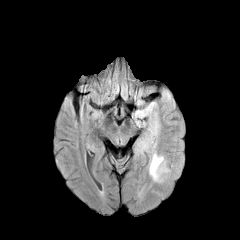
FLAIR MR image.
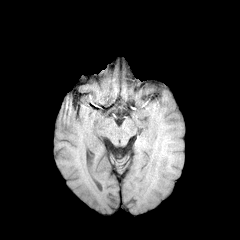
T1-weighted magnetic resonance of the same slice.
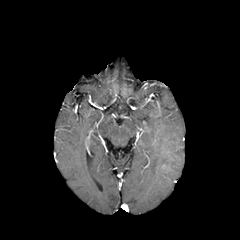
Post-contrast T1-weighted MR image.
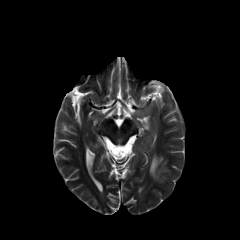
Same slice, T2-weighted MRI.
Brain. Axial slice. Image size 240x240.
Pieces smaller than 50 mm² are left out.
The 2 largest peritumoral edema regions are located at (132,103,160,151), (149,150,168,180).